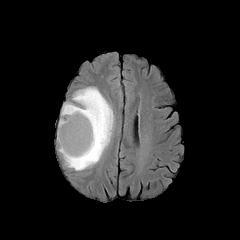
FLAIR MRI.
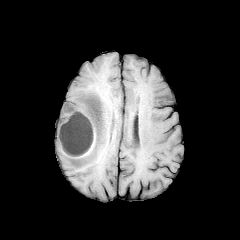
T1-weighted magnetic resonance.
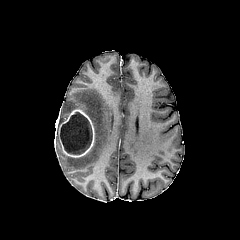
Same slice, post-contrast T1-weighted MR image.
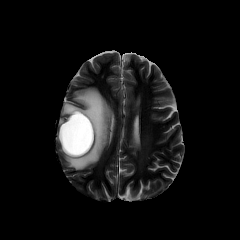
T2-weighted MR.
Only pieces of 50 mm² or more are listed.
enhancing tumor at (left=58, top=109, right=94, bottom=157)
necrotic tumor core at (left=60, top=112, right=92, bottom=154)
peritumoral edema at (left=57, top=87, right=112, bottom=170)